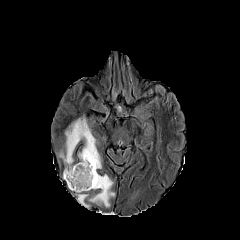
FLAIR magnetic resonance.
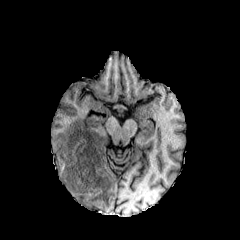
Same slice, T1-weighted MR image.
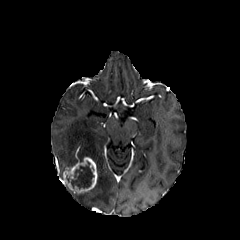
Post-contrast T1-weighted magnetic resonance.
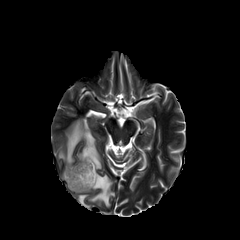
T2-weighted MR of the same slice.
Brain.
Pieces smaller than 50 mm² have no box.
peritumoral edema: x1=59 y1=117 x2=101 y2=168, x1=75 y1=193 x2=89 y2=208, x1=89 y1=174 x2=114 y2=207
enhancing tumor: x1=63 y1=157 x2=97 y2=193
necrotic tumor core: x1=71 y1=162 x2=94 y2=188